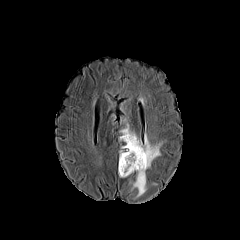
FLAIR MR.
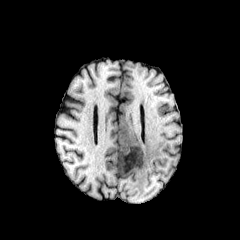
T1-weighted MR image.
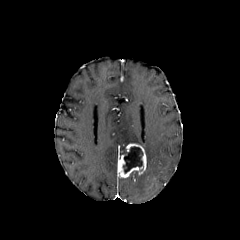
Post-contrast T1-weighted MR.
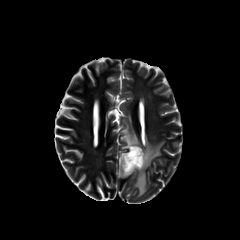
T2-weighted MR.
Image size 240x240
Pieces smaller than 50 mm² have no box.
enhancing_tumor:
  - box(118, 143, 146, 177)
peritumoral_edema:
  - box(120, 124, 162, 169)
  - box(131, 170, 146, 197)
necrotic_tumor_core:
  - box(120, 147, 142, 173)